FLAIR magnetic resonance.
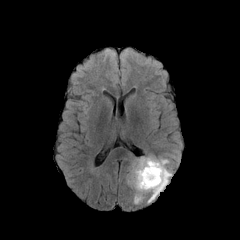
T1-weighted MRI.
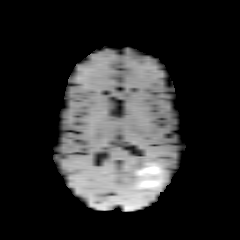
Post-contrast T1-weighted MR image.
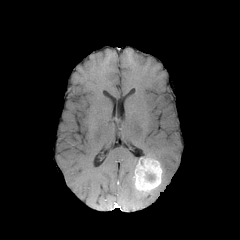
T2-weighted magnetic resonance.
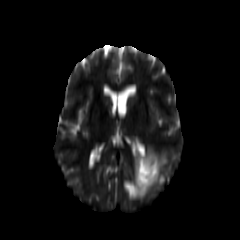
240x240 px; Axial view
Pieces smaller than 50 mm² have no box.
The largest peritumoral edema region is located at [x1=126, y1=153, x2=171, y2=203]. The enhancing tumor is at [x1=133, y1=157, x2=162, y2=194]. The largest necrotic tumor core region is located at [x1=143, y1=172, x2=155, y2=181].